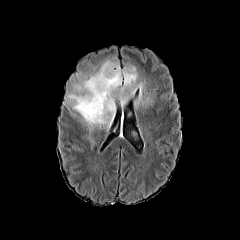
FLAIR MRI.
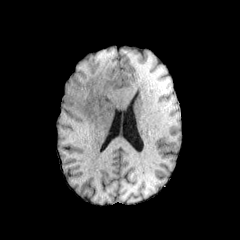
T1-weighted MR.
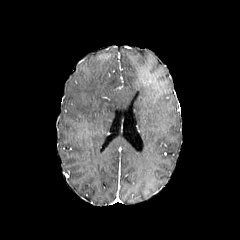
Post-contrast T1-weighted MR of the same slice.
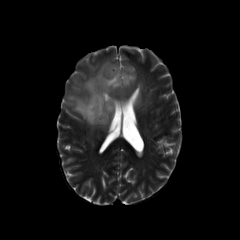
T2-weighted MR.
Brain | Image size 240x240 | Axial slice
* peritumoral edema: <box>67,61,150,127</box>